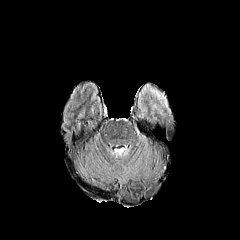
FLAIR magnetic resonance.
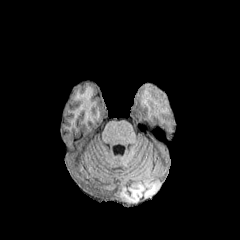
T1-weighted MR of the same slice.
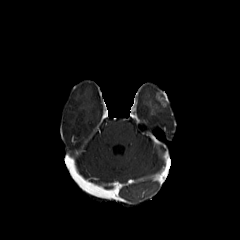
Post-contrast T1-weighted MRI.
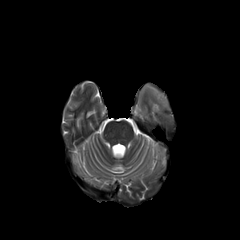
T2-weighted MR of the same slice.
Brain | Axial view
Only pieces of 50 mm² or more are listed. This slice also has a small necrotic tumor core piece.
peritumoral edema: bounding box rect(144, 85, 158, 97)
enhancing tumor: bounding box rect(150, 102, 158, 114); rect(156, 91, 168, 107)